Slice 62/155 | Axial slice
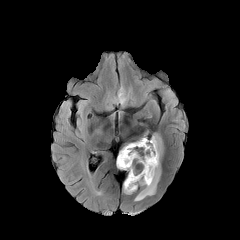
FLAIR MRI.
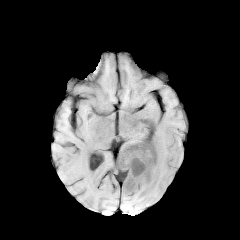
T1-weighted MR of the same slice.
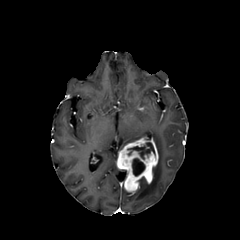
Post-contrast T1-weighted MRI of the same slice.
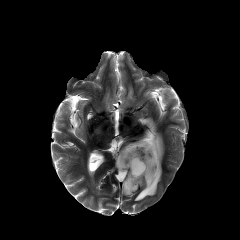
Same slice, T2-weighted MRI.
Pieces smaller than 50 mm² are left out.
Annotated regions:
- necrotic tumor core: 132:158:145:176, 127:142:154:159
- enhancing tumor: 116:137:158:192
- peritumoral edema: 134:133:163:200